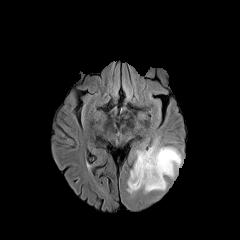
FLAIR magnetic resonance.
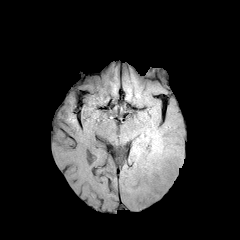
Same slice, T1-weighted magnetic resonance.
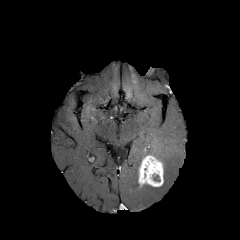
Post-contrast T1-weighted MR.
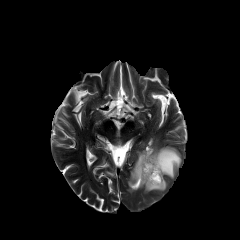
T2-weighted MR image.
240x240; Axial view
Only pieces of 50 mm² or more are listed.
peritumoral edema: [x1=127, y1=140, x2=182, y2=193] | necrotic tumor core: [x1=150, y1=173, x2=159, y2=181] | enhancing tumor: [x1=138, y1=155, x2=163, y2=186]